Slice 96/155. Axial plane. Brain.
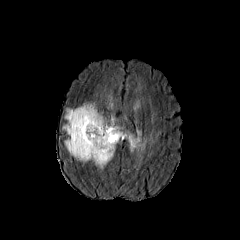
FLAIR MRI.
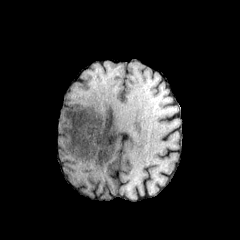
T1-weighted MRI.
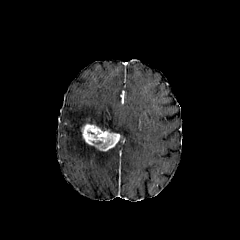
Same slice, post-contrast T1-weighted magnetic resonance.
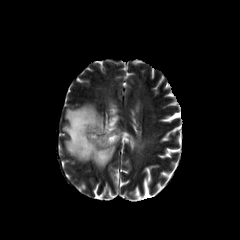
T2-weighted MRI.
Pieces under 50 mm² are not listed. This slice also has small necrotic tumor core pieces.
The enhancing tumor is at <box>81,123,120,151</box>. The largest peritumoral edema region is bounded by <box>62,101,146,170</box>.